FLAIR MR.
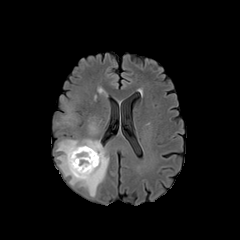
T1-weighted MRI.
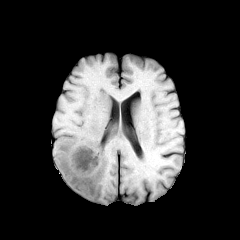
Post-contrast T1-weighted MR.
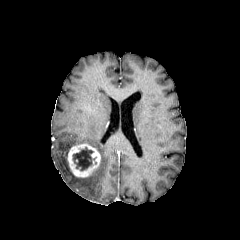
T2-weighted MR image.
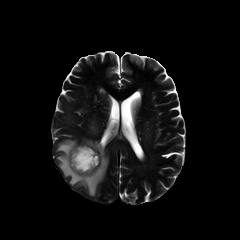
240x240 px, Axial plane, Brain
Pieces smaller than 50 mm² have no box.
The largest necrotic tumor core region is at l=73, t=147, r=95, b=170. The largest enhancing tumor region is located at l=67, t=143, r=100, b=177. 2 peritumoral edema regions are bounded by l=89, t=123, r=96, b=133; l=56, t=138, r=108, b=196.